Axial view. Image covers 240 mm x 240 mm. Brain.
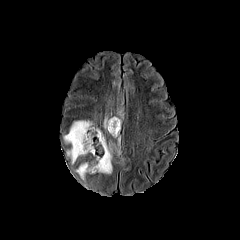
FLAIR MR image.
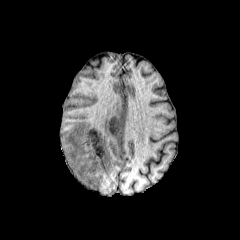
T1-weighted MR of the same slice.
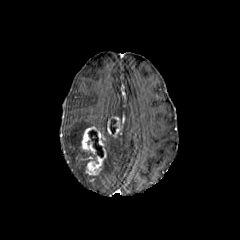
Post-contrast T1-weighted MR image.
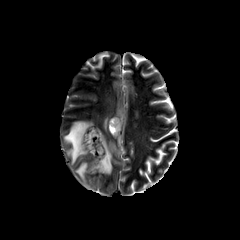
T2-weighted magnetic resonance.
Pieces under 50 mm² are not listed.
{
  "necrotic_tumor_core": [
    "region(88, 130, 103, 157)",
    "region(110, 119, 116, 133)"
  ],
  "enhancing_tumor": [
    "region(81, 126, 106, 175)",
    "region(107, 116, 121, 137)"
  ],
  "peritumoral_edema": [
    "region(103, 116, 108, 131)",
    "region(100, 133, 120, 174)",
    "region(75, 162, 87, 182)",
    "region(64, 120, 94, 164)"
  ]
}